Image covers 240 mm x 240 mm. Axial view. Head.
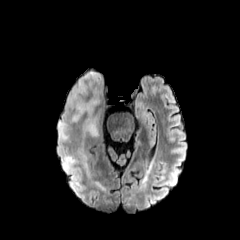
FLAIR MR.
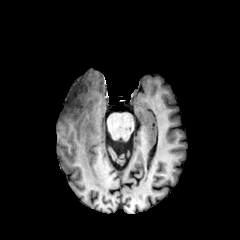
T1-weighted magnetic resonance.
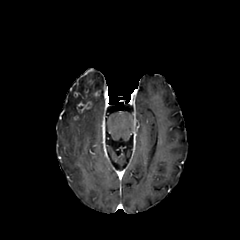
Post-contrast T1-weighted MR image.
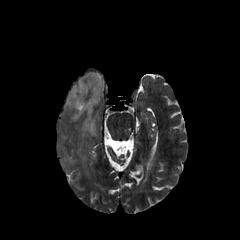
T2-weighted MR image of the same slice.
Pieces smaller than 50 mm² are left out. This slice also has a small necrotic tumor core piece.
Findings:
* peritumoral edema: 64,157,75,167; 62,70,103,137; 58,121,67,139
* enhancing tumor: 83,69,92,98; 92,90,100,97; 72,81,79,98; 74,100,92,113